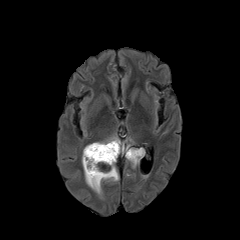
FLAIR MRI.
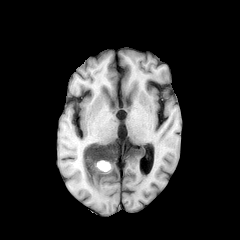
T1-weighted MR image.
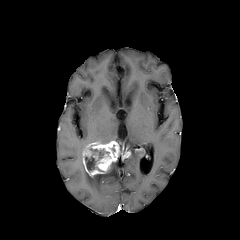
Post-contrast T1-weighted MRI.
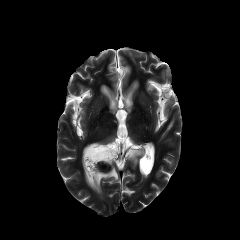
T2-weighted MRI.
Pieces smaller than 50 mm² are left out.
necrotic tumor core at box(85, 156, 95, 170)
peritumoral edema at box(124, 138, 143, 168); box(100, 134, 119, 143); box(84, 163, 118, 194)
enhancing tumor at box(82, 139, 131, 177); box(135, 148, 144, 156)